FLAIR MR.
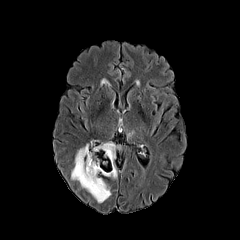
T1-weighted MR image.
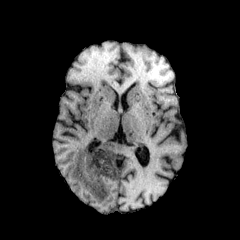
Post-contrast T1-weighted MR image.
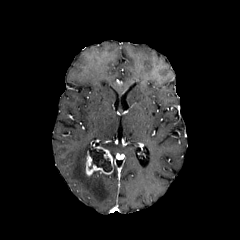
T2-weighted MR image.
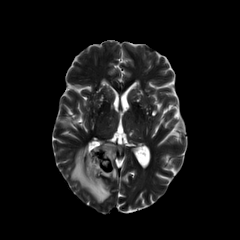
Axial view | Image size 240x240
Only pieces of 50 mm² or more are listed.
enhancing tumor: bounding box [86,147,113,175]
necrotic tumor core: bounding box [89,149,112,172]
peritumoral edema: bounding box [97,141,121,179], [71,142,111,202]